FLAIR magnetic resonance.
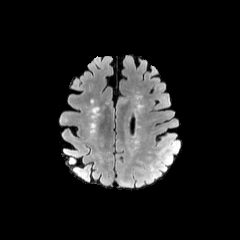
T1-weighted MRI.
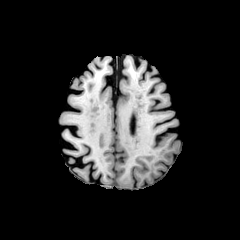
Post-contrast T1-weighted MRI.
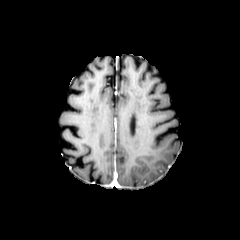
T2-weighted MR.
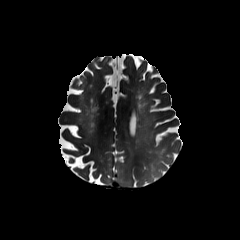
Head
{
  "peritumoral_edema": [
    "x1=119, y1=179, x2=145, y2=189"
  ]
}